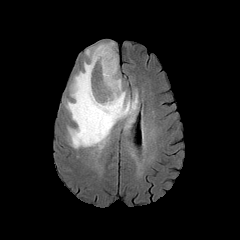
FLAIR MR.
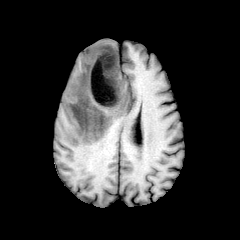
T1-weighted MRI.
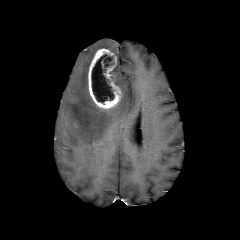
Same slice, post-contrast T1-weighted magnetic resonance.
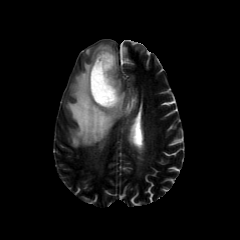
T2-weighted MRI.
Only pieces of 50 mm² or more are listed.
enhancing tumor: box=[88, 48, 122, 109]
necrotic tumor core: box=[91, 54, 114, 102]
peritumoral edema: box=[65, 42, 138, 149]